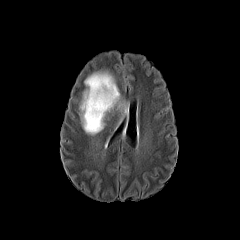
FLAIR MR image.
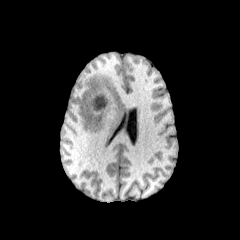
T1-weighted MR.
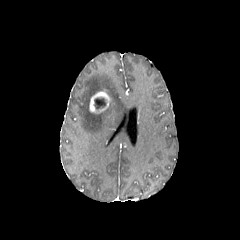
Post-contrast T1-weighted MRI.
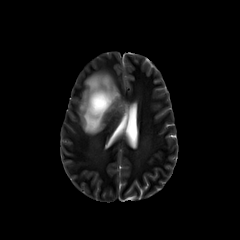
T2-weighted MR image of the same slice.
Axial slice.
enhancing tumor — 89 91 110 113
necrotic tumor core — 94 98 105 109
peritumoral edema — 78 68 128 135